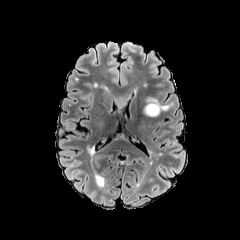
FLAIR MR image.
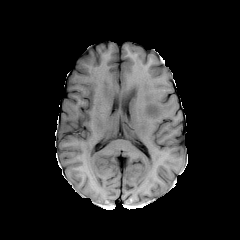
T1-weighted MR.
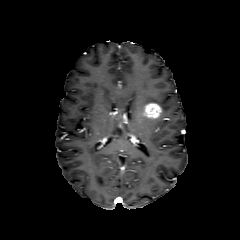
Post-contrast T1-weighted MRI.
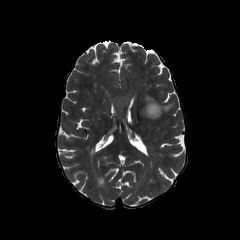
T2-weighted MR of the same slice.
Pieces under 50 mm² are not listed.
{"enhancing_tumor": ["left=143, top=103, right=162, bottom=118"], "peritumoral_edema": ["left=146, top=97, right=173, bottom=111"]}